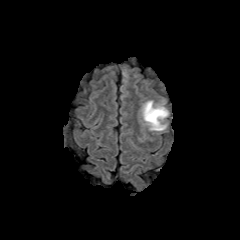
FLAIR MR.
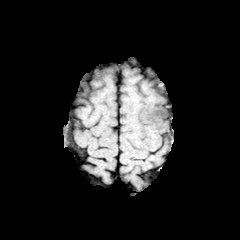
Same slice, T1-weighted MR.
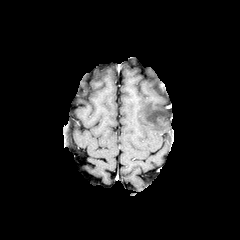
Same slice, post-contrast T1-weighted MRI.
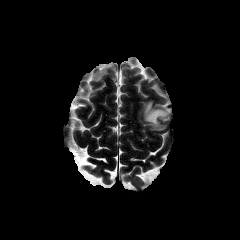
T2-weighted MR image.
Axial slice, 240x240
peritumoral_edema:
  - 142:100:168:131